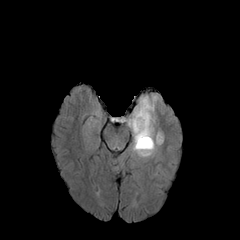
FLAIR magnetic resonance.
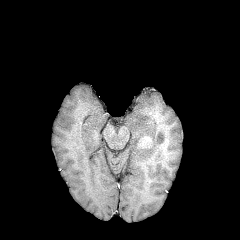
T1-weighted magnetic resonance of the same slice.
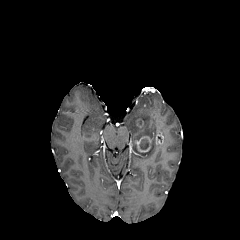
Post-contrast T1-weighted MR image.
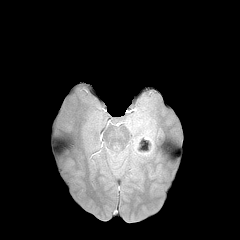
T2-weighted MR image of the same slice.
Axial plane
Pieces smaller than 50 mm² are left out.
peritumoral edema: bounding box x1=126, y1=94, x2=163, y2=157
enhancing tumor: bounding box x1=134, y1=136, x2=151, y2=152; x1=155, y1=133, x2=163, y2=144
necrotic tumor core: bounding box x1=139, y1=138, x2=149, y2=149